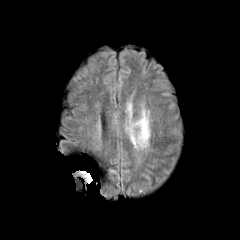
FLAIR MR image.
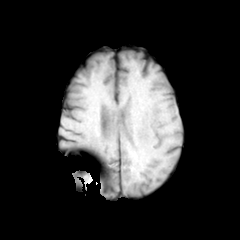
Same slice, T1-weighted MRI.
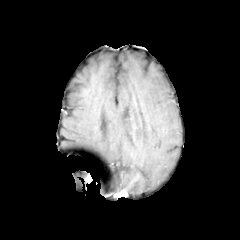
Post-contrast T1-weighted MR image of the same slice.
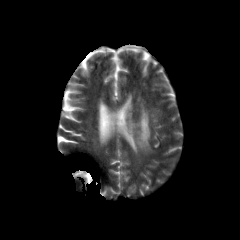
T2-weighted MR of the same slice.
Head; Axial view
{"peritumoral_edema": ["region(125, 105, 150, 148)"]}